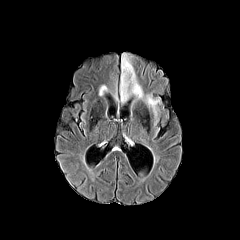
FLAIR MR.
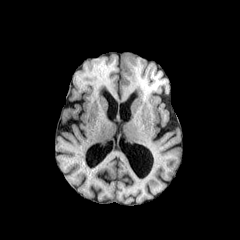
Same slice, T1-weighted MRI.
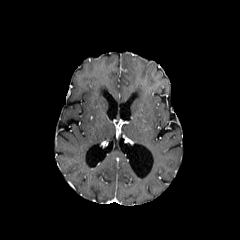
Post-contrast T1-weighted magnetic resonance.
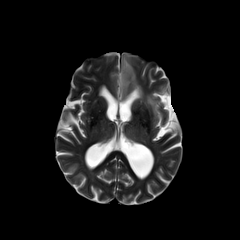
T2-weighted MR image.
peritumoral edema: <box>120,53,143,101</box>, <box>145,95,159,116</box>